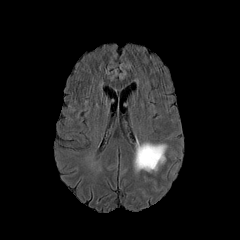
FLAIR MR image.
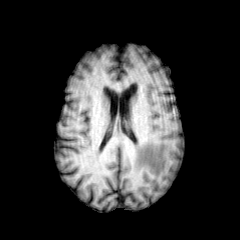
T1-weighted MRI of the same slice.
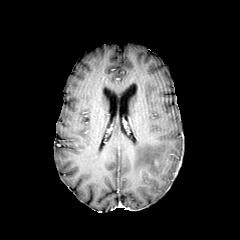
Post-contrast T1-weighted magnetic resonance.
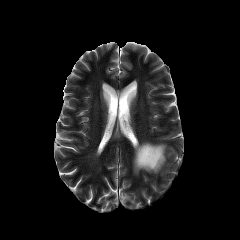
T2-weighted MRI of the same slice.
240x240 px
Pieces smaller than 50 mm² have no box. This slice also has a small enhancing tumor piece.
peritumoral edema: rect(134, 141, 166, 171)